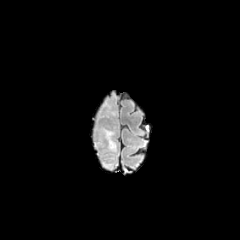
FLAIR magnetic resonance.
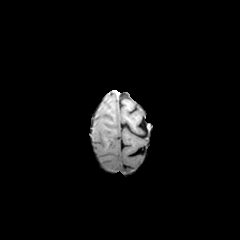
Same slice, T1-weighted MR image.
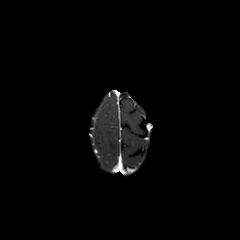
Post-contrast T1-weighted MRI.
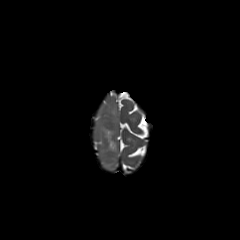
T2-weighted MR image of the same slice.
Brain | Axial view
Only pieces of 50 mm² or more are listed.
The 2 largest peritumoral edema regions appear at 104, 103, 115, 115; 99, 127, 116, 151.